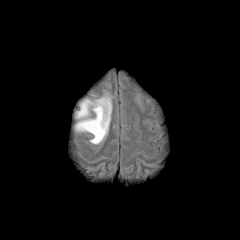
FLAIR MRI.
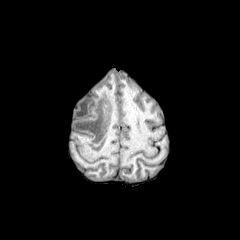
T1-weighted MRI.
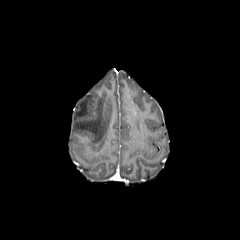
Post-contrast T1-weighted MR image of the same slice.
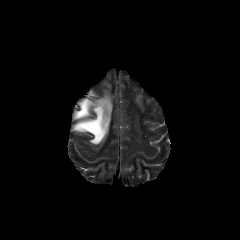
T2-weighted MRI.
Axial plane. Brain.
peritumoral edema: bounding box box=[74, 93, 112, 144]